FLAIR MR image.
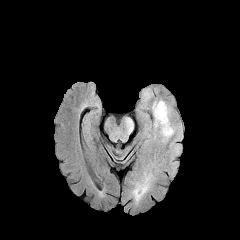
T1-weighted magnetic resonance.
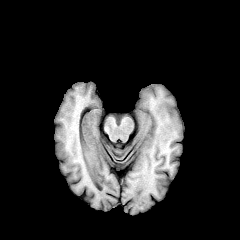
Post-contrast T1-weighted MR image.
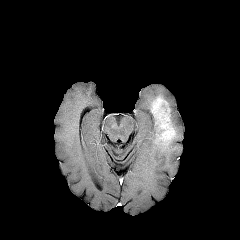
T2-weighted magnetic resonance.
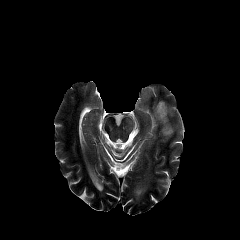
Head
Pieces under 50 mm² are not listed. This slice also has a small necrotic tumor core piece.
Segmented structures:
* peritumoral edema: region(153, 117, 175, 143)
* enhancing tumor: region(152, 98, 174, 140)